FLAIR MRI.
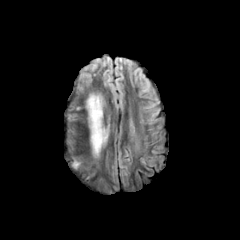
T1-weighted MRI.
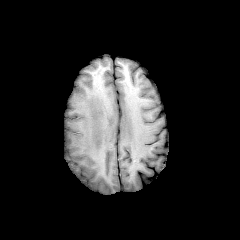
Post-contrast T1-weighted MR image.
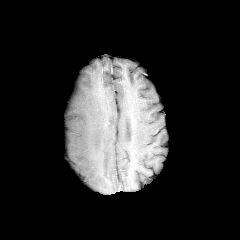
T2-weighted MRI.
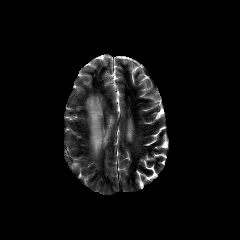
Brain | Axial plane
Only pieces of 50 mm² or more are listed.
peritumoral edema: <box>87,96,107,154</box>